FLAIR MR image.
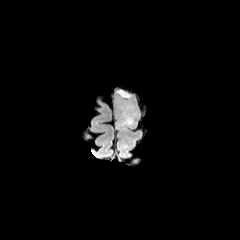
T1-weighted MR image.
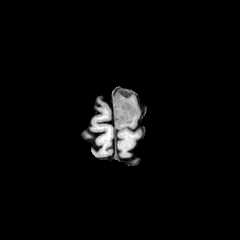
Post-contrast T1-weighted MR image.
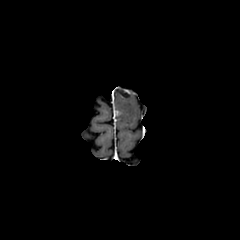
T2-weighted MRI.
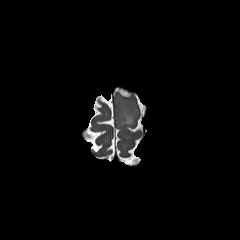
Axial slice.
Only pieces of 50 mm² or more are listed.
peritumoral edema: [115,93,138,126] | enhancing tumor: [117,88,132,98]